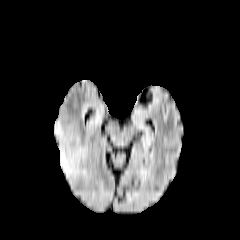
FLAIR MRI.
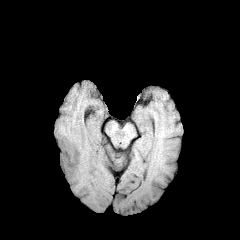
Same slice, T1-weighted MR image.
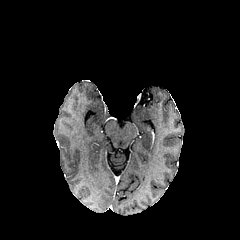
Post-contrast T1-weighted MR of the same slice.
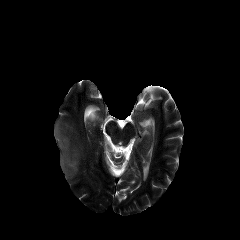
T2-weighted MRI.
Axial slice | 240x240
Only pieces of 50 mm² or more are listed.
peritumoral edema — x1=90, y1=109, x2=101, y2=126; x1=54, y1=121, x2=85, y2=178